Slice 119 of 155. Axial plane. Brain.
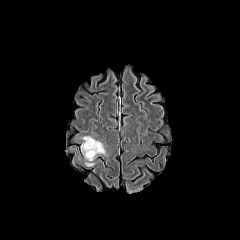
FLAIR MRI.
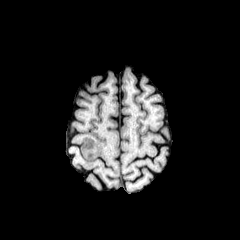
T1-weighted MR of the same slice.
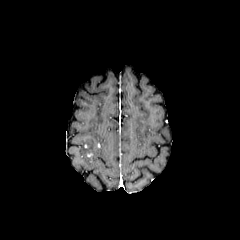
Post-contrast T1-weighted MRI.
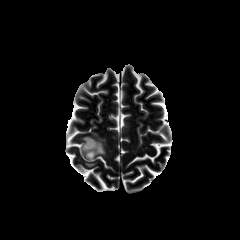
T2-weighted MR image.
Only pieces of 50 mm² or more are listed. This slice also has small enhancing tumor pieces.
Annotated regions:
- peritumoral edema: 81, 136, 105, 160